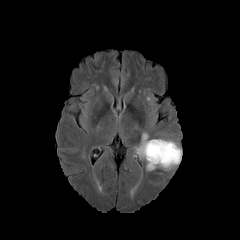
FLAIR MR.
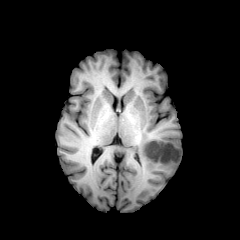
T1-weighted MR of the same slice.
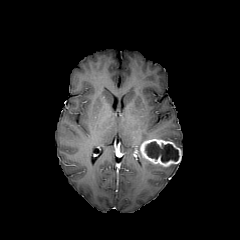
Post-contrast T1-weighted MR of the same slice.
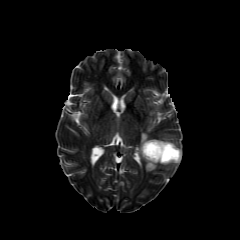
T2-weighted magnetic resonance.
Axial view | Brain | 240x240
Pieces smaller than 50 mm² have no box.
enhancing tumor: bounding box [140,139,181,166]
necrotic tumor core: bounding box [145,141,179,162]
peritumoral edema: bounding box [145,160,177,171], [136,133,150,159]